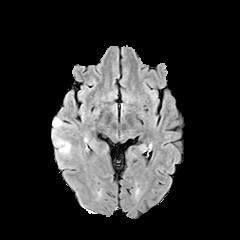
FLAIR MRI.
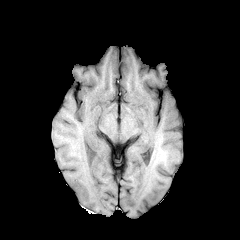
Same slice, T1-weighted MR.
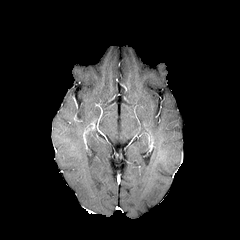
Post-contrast T1-weighted MRI.
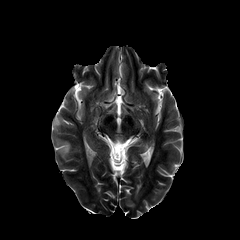
T2-weighted MR image.
* peritumoral edema: [56,140,70,149], [59,150,70,156]